FLAIR magnetic resonance.
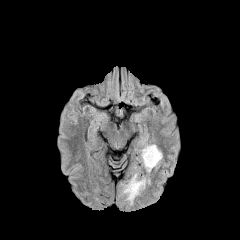
T1-weighted MR image.
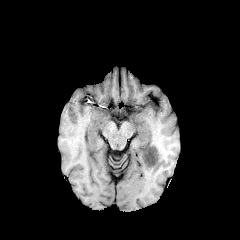
Post-contrast T1-weighted MR.
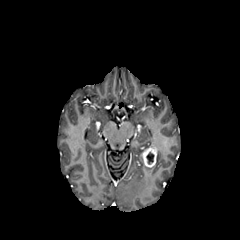
T2-weighted MR image.
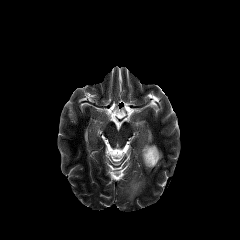
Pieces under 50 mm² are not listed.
The enhancing tumor is located at <bbox>142, 146, 157, 167</bbox>. The 2 largest peritumoral edema regions are located at <bbox>150, 144, 162, 166</bbox>, <bbox>124, 173, 145, 203</bbox>. The necrotic tumor core appears at <bbox>147, 152, 153, 164</bbox>.